240x240, Axial slice, Brain
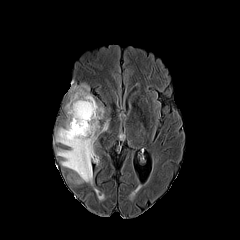
FLAIR magnetic resonance.
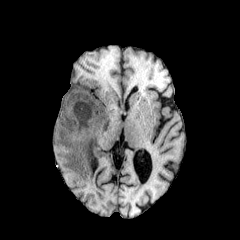
T1-weighted MRI of the same slice.
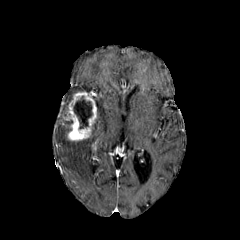
Same slice, post-contrast T1-weighted MRI.
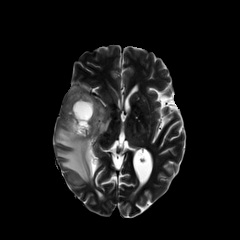
T2-weighted MR image of the same slice.
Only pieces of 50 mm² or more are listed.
Segmented structures:
- peritumoral edema: 69 84 89 101, 55 102 108 183
- enhancing tumor: 65 91 97 141
- necrotic tumor core: 73 96 92 129